FLAIR MRI.
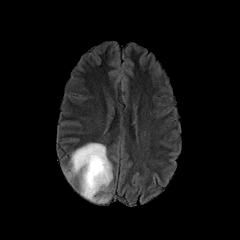
T1-weighted MRI.
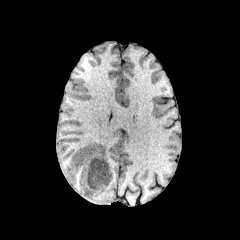
Post-contrast T1-weighted magnetic resonance.
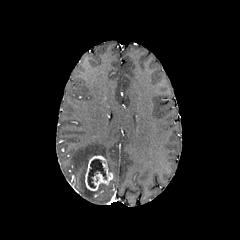
T2-weighted magnetic resonance.
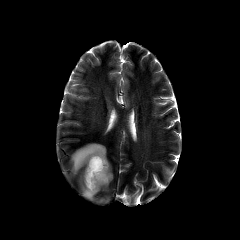
Brain | Axial view
• necrotic tumor core: left=88, top=159, right=106, bottom=188
• enhancing tumor: left=85, top=155, right=112, bottom=190
• peritumoral edema: left=64, top=143, right=113, bottom=203